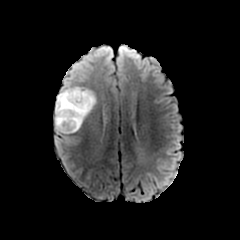
FLAIR magnetic resonance.
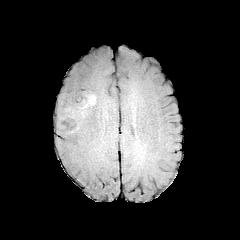
Same slice, T1-weighted MR image.
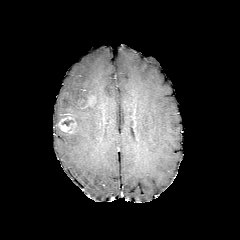
Same slice, post-contrast T1-weighted magnetic resonance.
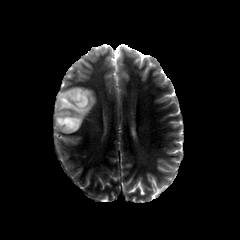
T2-weighted MRI of the same slice.
Brain
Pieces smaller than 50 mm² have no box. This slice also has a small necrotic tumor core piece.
The peritumoral edema appears at (left=54, top=83, right=96, bottom=135). The enhancing tumor is at (left=58, top=113, right=76, bottom=133).